FLAIR MR image.
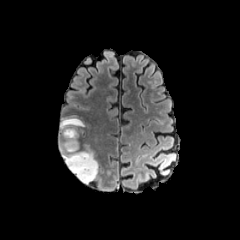
T1-weighted MR.
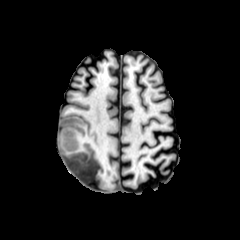
Post-contrast T1-weighted MR.
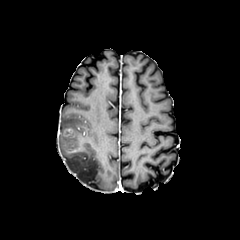
T2-weighted MR image.
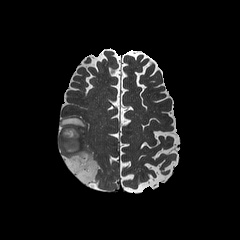
Axial plane; 240x240; Brain
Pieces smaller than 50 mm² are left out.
peritumoral_edema:
  - region(60, 115, 86, 136)
  - region(59, 139, 98, 183)
enhancing_tumor:
  - region(59, 126, 82, 153)
necrotic_tumor_core:
  - region(65, 136, 77, 146)